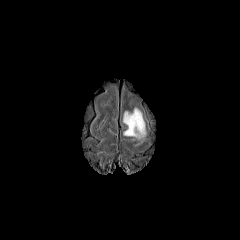
FLAIR MR.
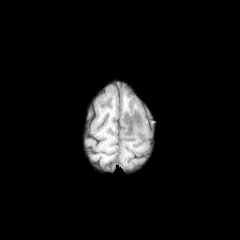
T1-weighted MR.
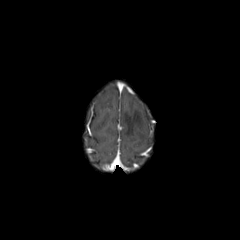
Post-contrast T1-weighted MR of the same slice.
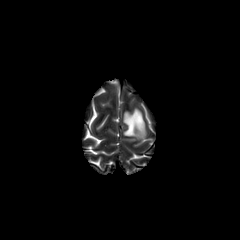
T2-weighted MRI.
Axial plane.
• peritumoral edema: box(123, 108, 145, 138)